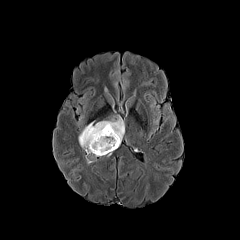
FLAIR MR.
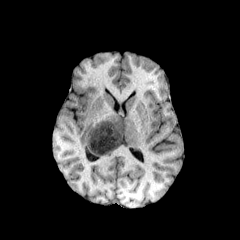
T1-weighted MR image of the same slice.
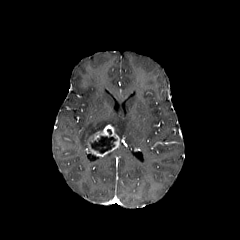
Same slice, post-contrast T1-weighted MR image.
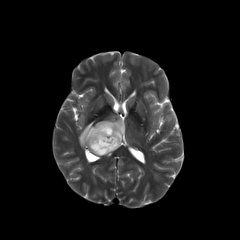
T2-weighted MR image.
Brain
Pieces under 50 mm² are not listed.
The largest necrotic tumor core region is bounded by 89 136 116 153. The largest peritumoral edema region is located at 78 117 124 149. The enhancing tumor is at 87 124 120 156.